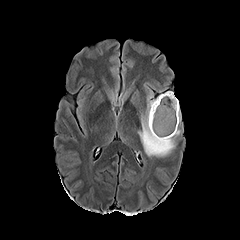
FLAIR MR image.
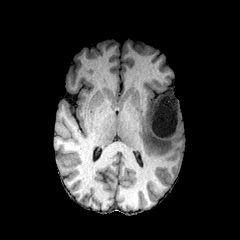
T1-weighted MR image.
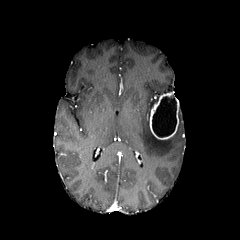
Same slice, post-contrast T1-weighted magnetic resonance.
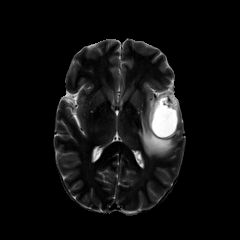
T2-weighted MR.
Axial slice. Image size 240x240. Brain.
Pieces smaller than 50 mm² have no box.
{
  "necrotic_tumor_core": [
    "l=152, t=95, r=176, b=137"
  ],
  "enhancing_tumor": [
    "l=149, t=92, r=179, b=139"
  ],
  "peritumoral_edema": [
    "l=138, t=93, r=180, b=156"
  ]
}